FLAIR magnetic resonance.
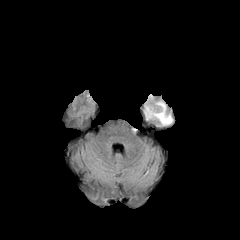
T1-weighted MR.
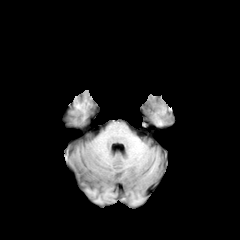
Post-contrast T1-weighted MRI.
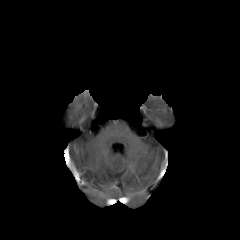
T2-weighted MR image.
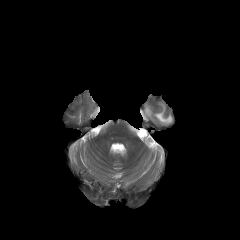
Brain.
peritumoral edema: left=145, top=101, right=172, bottom=124